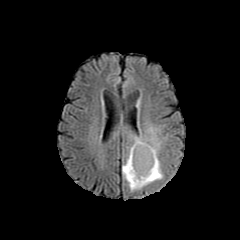
FLAIR MR image.
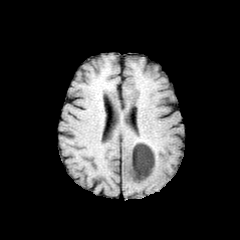
T1-weighted MRI of the same slice.
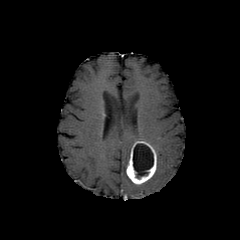
Post-contrast T1-weighted magnetic resonance of the same slice.
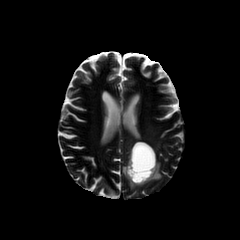
T2-weighted MRI.
Head. Axial view.
enhancing tumor: [126,141,156,184] | necrotic tumor core: [133,144,153,178] | peritumoral edema: [122,126,163,191]